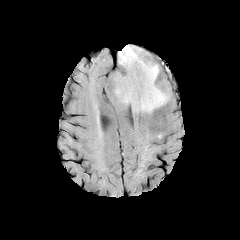
FLAIR MRI.
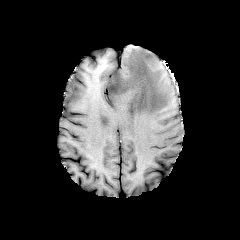
T1-weighted MR image.
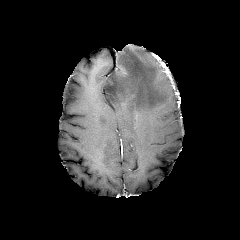
Same slice, post-contrast T1-weighted magnetic resonance.
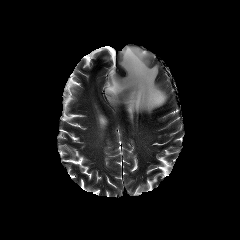
T2-weighted magnetic resonance.
Head; Axial plane
peritumoral edema at 108, 45, 169, 113